Axial view, Brain
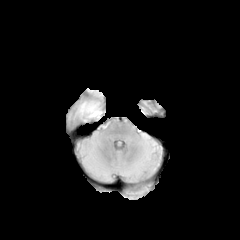
FLAIR MR image.
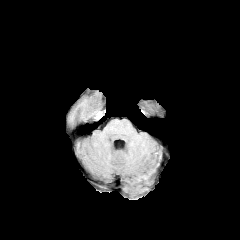
T1-weighted magnetic resonance.
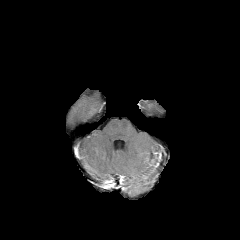
Post-contrast T1-weighted magnetic resonance.
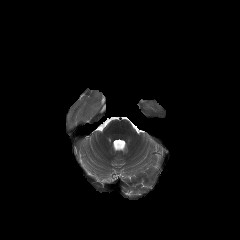
T2-weighted MR.
The enhancing tumor is located at x1=84, y1=102, x2=100, y2=122. The peritumoral edema is at x1=68, y1=94, x2=100, y2=128.